240x240 | Head | Image width 240 mm | Axial slice
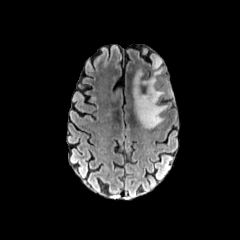
FLAIR MR image.
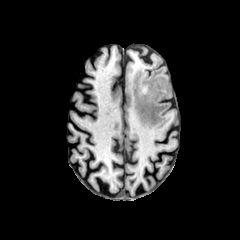
T1-weighted magnetic resonance.
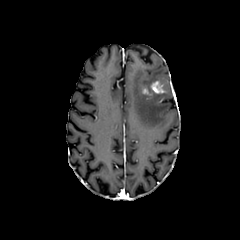
Post-contrast T1-weighted MR image.
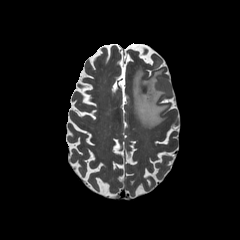
T2-weighted MR image.
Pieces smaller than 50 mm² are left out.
The largest enhancing tumor region appears at (x1=150, y1=81, x2=166, y2=94). 2 peritumoral edema regions appear at (x1=150, y1=54, x2=161, y2=69), (x1=132, y1=69, x2=172, y2=128).